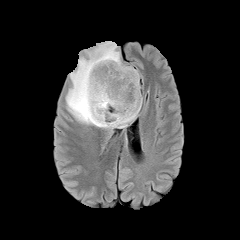
FLAIR MR.
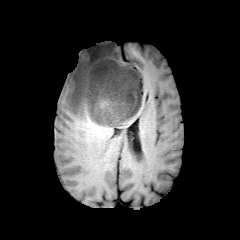
Same slice, T1-weighted MRI.
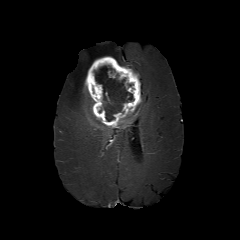
Same slice, post-contrast T1-weighted MRI.
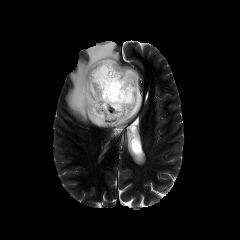
T2-weighted magnetic resonance.
Axial slice | Brain
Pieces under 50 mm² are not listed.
• necrotic tumor core: [x1=94, y1=65, x2=133, y2=121]
• peritumoral edema: [x1=65, y1=41, x2=126, y2=129], [x1=119, y1=116, x2=136, y2=128]
• enhancing tumor: [x1=84, y1=56, x2=141, y2=127]